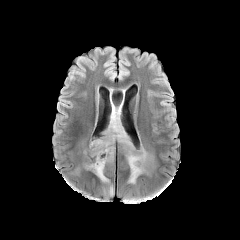
FLAIR magnetic resonance.
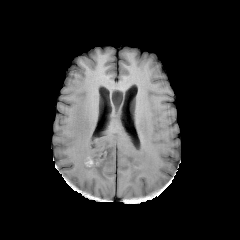
T1-weighted MR.
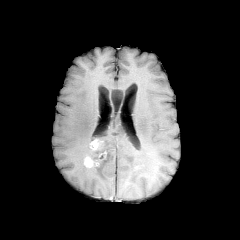
Post-contrast T1-weighted MRI of the same slice.
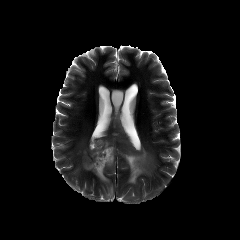
T2-weighted MR image of the same slice.
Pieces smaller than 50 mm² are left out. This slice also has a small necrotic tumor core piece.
{
  "peritumoral_edema": [
    "x1=85, y1=109, x2=152, y2=183"
  ],
  "enhancing_tumor": [
    "x1=84, y1=151, x2=106, y2=167",
    "x1=90, y1=139, x2=103, y2=151"
  ]
}